Axial plane
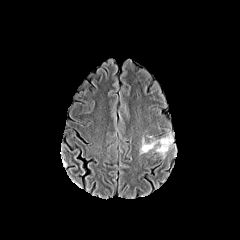
FLAIR magnetic resonance.
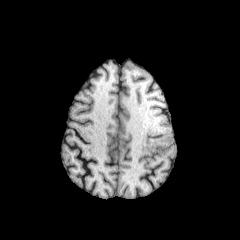
T1-weighted magnetic resonance of the same slice.
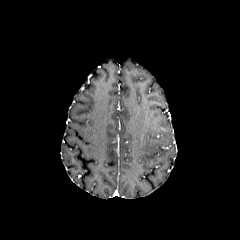
Post-contrast T1-weighted MR.
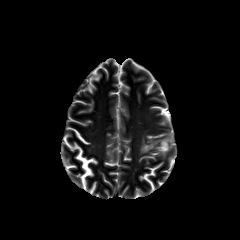
T2-weighted MR image.
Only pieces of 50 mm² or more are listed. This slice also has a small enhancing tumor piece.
peritumoral edema: (left=140, top=132, right=173, bottom=157)